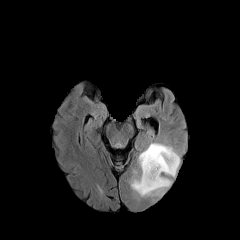
FLAIR MRI.
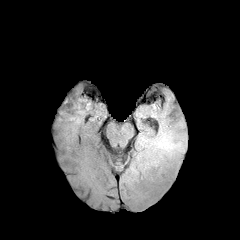
Same slice, T1-weighted MRI.
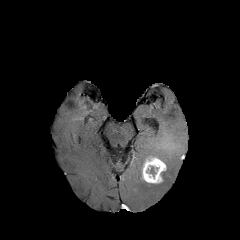
Same slice, post-contrast T1-weighted MR image.
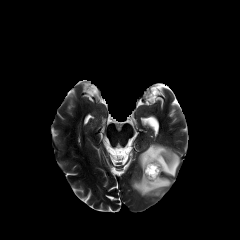
Same slice, T2-weighted MR.
Head; Axial view
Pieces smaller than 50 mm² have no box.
- necrotic tumor core: 146:165:160:178
- peritumoral edema: 130:142:180:197
- enhancing tumor: 142:157:166:183